FLAIR MR image.
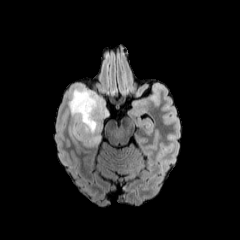
T1-weighted MRI.
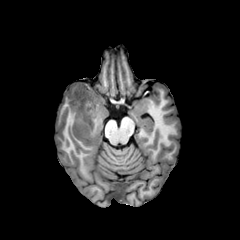
Post-contrast T1-weighted magnetic resonance.
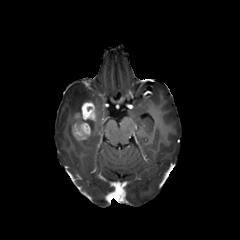
T2-weighted MR image.
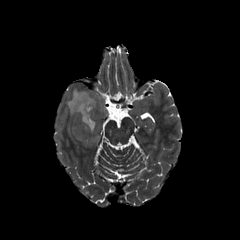
Axial plane | 240x240 px
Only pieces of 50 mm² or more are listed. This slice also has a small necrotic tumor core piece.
enhancing tumor: bounding box <box>72,101,97,140</box>
peritumoral edema: bounding box <box>68,86,108,147</box>